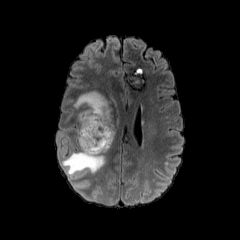
FLAIR MRI.
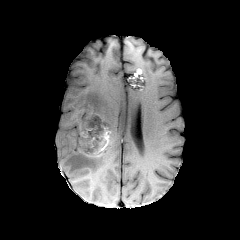
T1-weighted MRI.
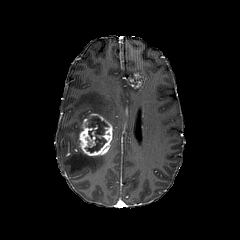
Post-contrast T1-weighted MR image.
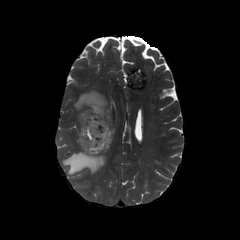
T2-weighted MRI.
Brain, Image size 240x240
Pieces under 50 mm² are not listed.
necrotic_tumor_core:
  - region(85, 116, 108, 152)
enhancing_tumor:
  - region(79, 113, 112, 155)
peritumoral_edema:
  - region(74, 91, 118, 144)
  - region(62, 149, 105, 175)